FLAIR magnetic resonance.
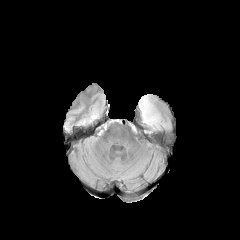
T1-weighted magnetic resonance.
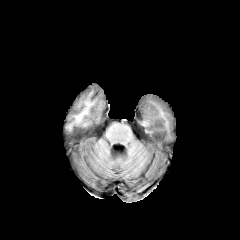
Post-contrast T1-weighted MRI.
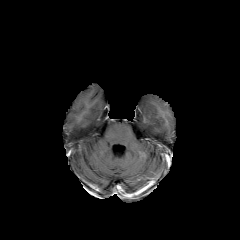
T2-weighted magnetic resonance.
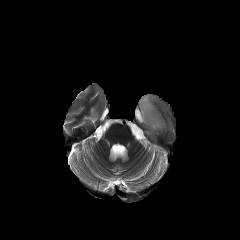
Axial view | Image size 240x240
Annotated regions:
* peritumoral edema: (x1=139, y1=95, x2=165, y2=133)